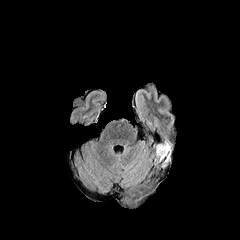
FLAIR MR image.
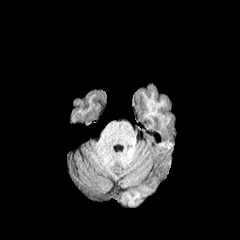
T1-weighted MRI of the same slice.
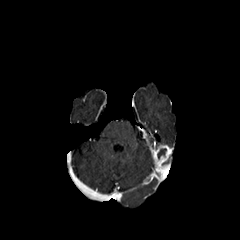
Same slice, post-contrast T1-weighted MR image.
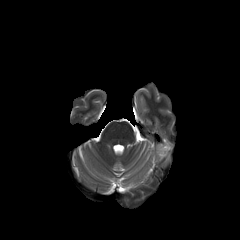
T2-weighted MR.
240x240 px. Brain. Axial plane.
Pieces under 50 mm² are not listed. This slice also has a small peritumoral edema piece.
enhancing tumor: bbox=[154, 144, 171, 166]
necrotic tumor core: bbox=[158, 148, 166, 158]